FLAIR MR.
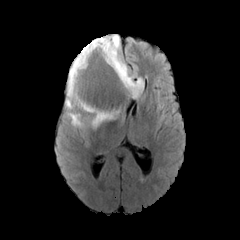
T1-weighted MR.
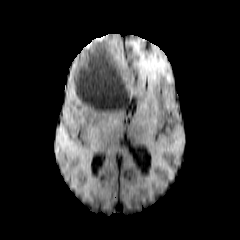
Post-contrast T1-weighted MRI.
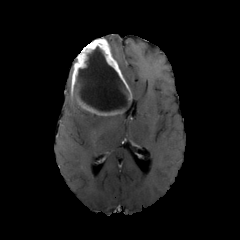
T2-weighted magnetic resonance.
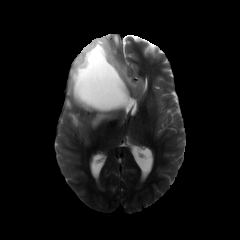
Axial plane
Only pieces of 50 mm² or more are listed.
The 3 largest peritumoral edema regions are bounded by (65, 67, 86, 126), (91, 114, 117, 127), (104, 35, 143, 98). The enhancing tumor is bounded by (71, 37, 132, 115). The necrotic tumor core lies within (77, 47, 128, 111).